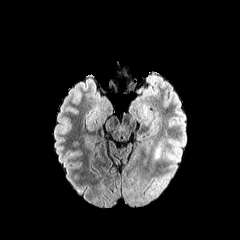
FLAIR MR image.
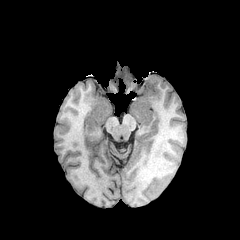
Same slice, T1-weighted MRI.
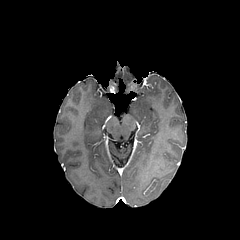
Post-contrast T1-weighted MR image.
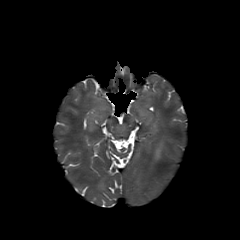
T2-weighted MR.
Head
The peritumoral edema lies within left=155, top=144, right=162, bottom=158.